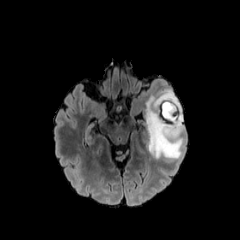
FLAIR MR.
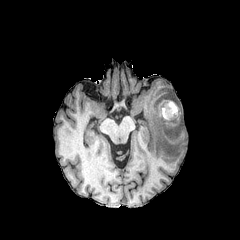
Same slice, T1-weighted magnetic resonance.
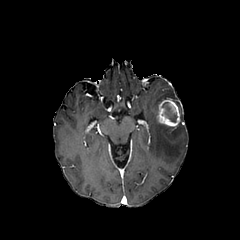
Post-contrast T1-weighted MRI of the same slice.
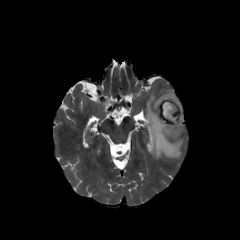
T2-weighted magnetic resonance of the same slice.
Brain, Axial slice
enhancing tumor: bbox=[156, 97, 180, 127]
necrotic tumor core: bbox=[162, 102, 177, 122]
peritumoral edema: bbox=[144, 89, 184, 159]